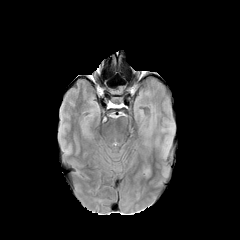
FLAIR magnetic resonance.
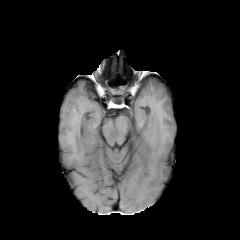
T1-weighted MR.
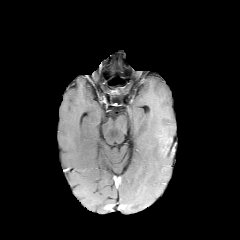
Post-contrast T1-weighted MRI.
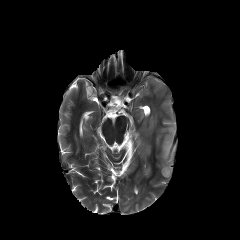
T2-weighted MR of the same slice.
240x240 px. Axial view.
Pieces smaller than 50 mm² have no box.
peritumoral_edema:
  - l=162, t=167, r=169, b=176
  - l=162, t=136, r=171, b=158